Head; Axial view; 240x240 px
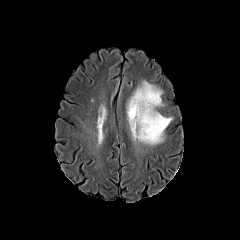
FLAIR MR.
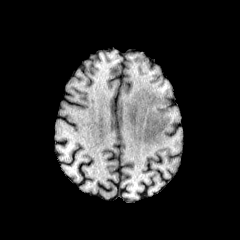
T1-weighted MR.
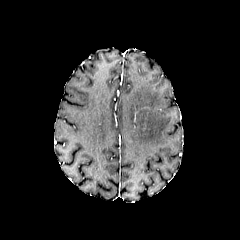
Post-contrast T1-weighted MR.
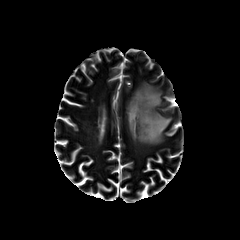
Same slice, T2-weighted MR image.
peritumoral edema: x1=126, y1=81, x2=172, y2=145